Image width 240 mm, 1.00 mm slice spacing, Slice 39/155
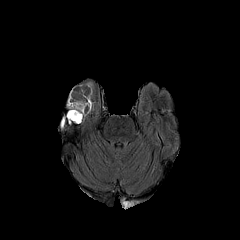
FLAIR magnetic resonance.
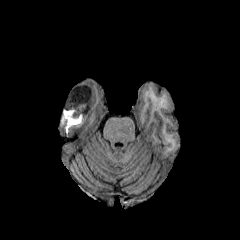
Same slice, T1-weighted MR.
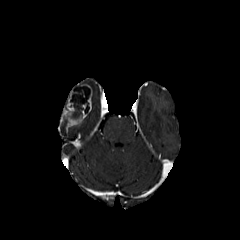
Post-contrast T1-weighted magnetic resonance.
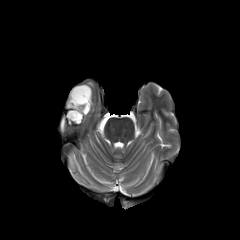
T2-weighted MR image.
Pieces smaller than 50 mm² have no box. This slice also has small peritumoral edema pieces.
necrotic tumor core: 67, 85, 90, 121 | enhancing tumor: 66, 89, 74, 114; 81, 84, 92, 113